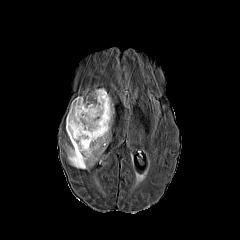
FLAIR MR.
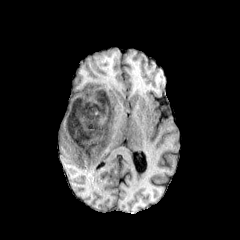
Same slice, T1-weighted magnetic resonance.
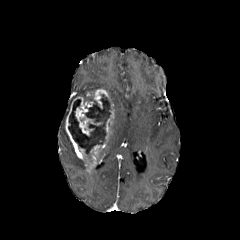
Same slice, post-contrast T1-weighted magnetic resonance.
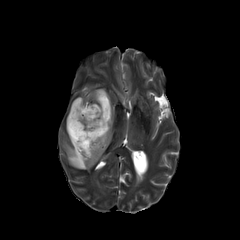
Same slice, T2-weighted MRI.
Brain; Axial slice
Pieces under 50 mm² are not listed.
The largest peritumoral edema region appears at 65 144 88 169. The largest necrotic tumor core region is bounded by 68 94 110 158. 2 enhancing tumor regions are located at 65 89 114 170, 74 97 102 135.